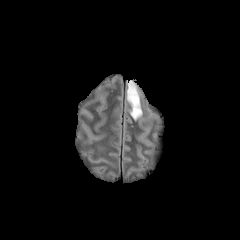
FLAIR MRI.
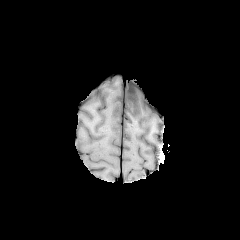
T1-weighted MRI.
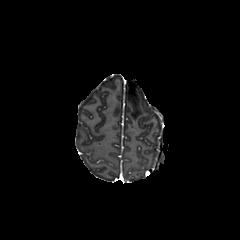
Post-contrast T1-weighted magnetic resonance.
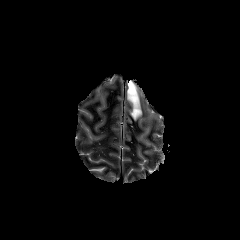
T2-weighted MRI of the same slice.
Image size 240x240; Brain
Segmented structures:
• peritumoral edema: [127,80,142,119]